FLAIR magnetic resonance.
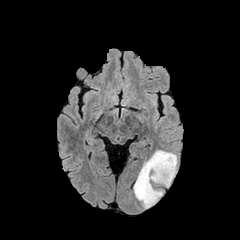
T1-weighted MR.
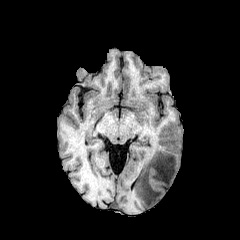
Post-contrast T1-weighted MR image.
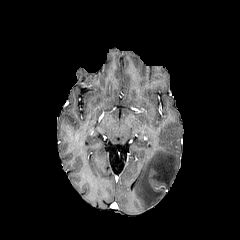
T2-weighted MRI.
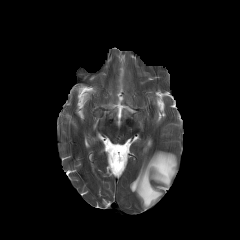
The peritumoral edema is at left=134, top=150, right=177, bottom=208.